Axial view
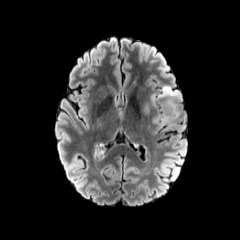
FLAIR magnetic resonance.
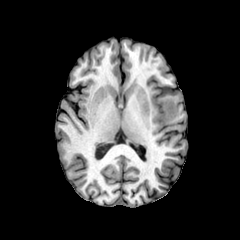
T1-weighted MRI.
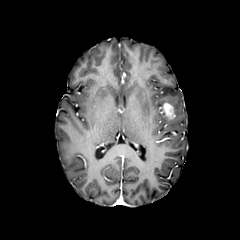
Post-contrast T1-weighted MR.
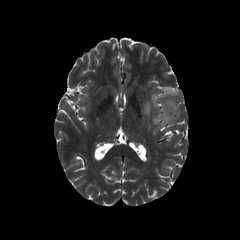
T2-weighted MR image of the same slice.
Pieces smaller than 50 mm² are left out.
enhancing_tumor:
  - rect(160, 102, 175, 119)
peritumoral_edema:
  - rect(153, 113, 172, 126)
  - rect(151, 86, 181, 119)